FLAIR MR image.
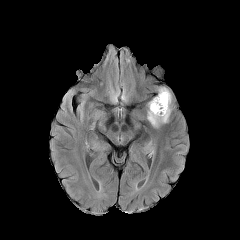
T1-weighted MRI.
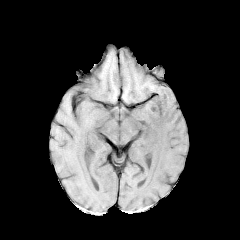
Post-contrast T1-weighted MR image.
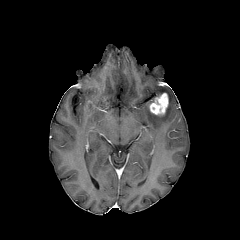
T2-weighted magnetic resonance.
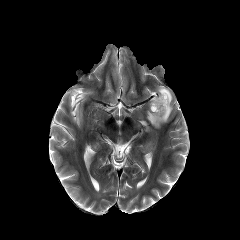
Axial view | Head | 240x240 px
enhancing_tumor:
  - [x1=150, y1=93, x2=168, y2=114]
peritumoral_edema:
  - [x1=147, y1=87, x2=172, y2=127]